Head, 240x240 px
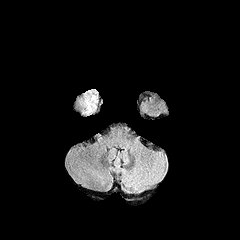
FLAIR MR image.
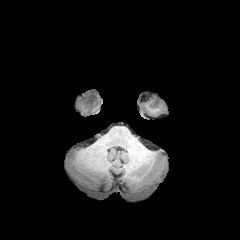
Same slice, T1-weighted MR.
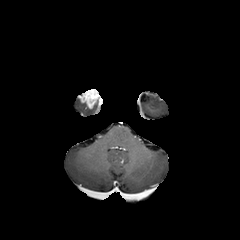
Post-contrast T1-weighted magnetic resonance.
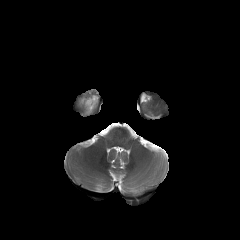
Same slice, T2-weighted magnetic resonance.
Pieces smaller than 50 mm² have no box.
peritumoral edema = [x1=84, y1=104, x2=96, y2=114]
enhancing tumor = [x1=78, y1=89, x2=99, y2=108]